FLAIR MR.
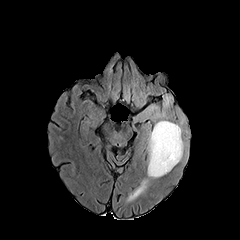
T1-weighted MR image.
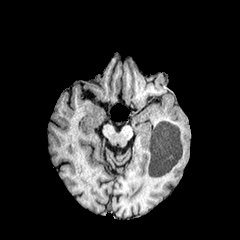
Post-contrast T1-weighted magnetic resonance.
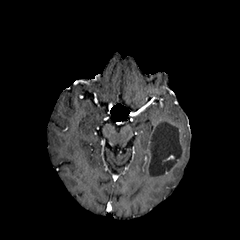
T2-weighted MRI.
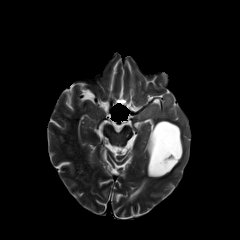
Axial slice
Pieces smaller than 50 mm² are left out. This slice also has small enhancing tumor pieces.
peritumoral edema = region(146, 128, 165, 177); region(168, 124, 185, 172); region(145, 96, 171, 119)
necrotic tumor core = region(150, 122, 181, 174)